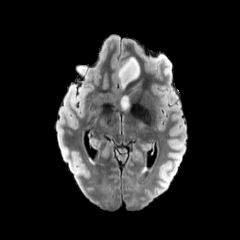
FLAIR MR image.
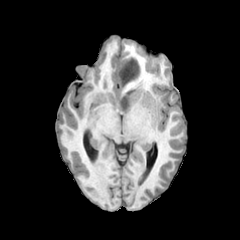
T1-weighted MRI.
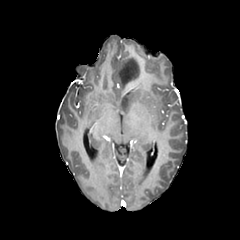
Post-contrast T1-weighted MR image.
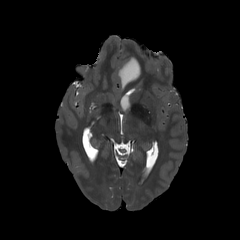
T2-weighted magnetic resonance.
Brain. Axial slice.
2 peritumoral edema regions are bounded by region(120, 96, 129, 110); region(118, 57, 140, 85).